Head. Slice 74/155. Image covers 240 mm x 240 mm.
FLAIR MR.
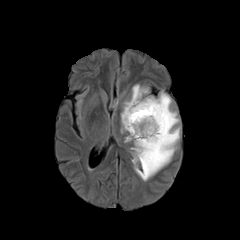
T1-weighted MR image.
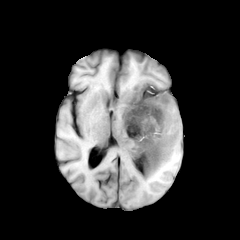
Post-contrast T1-weighted magnetic resonance.
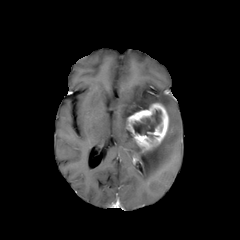
T2-weighted MR.
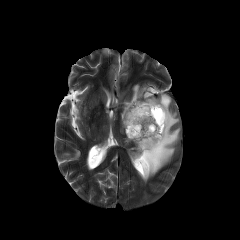
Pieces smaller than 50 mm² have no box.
<segmentation>
  <necrotic_tumor_core>rect(133, 110, 161, 137)</necrotic_tumor_core>
  <enhancing_tumor>rect(133, 154, 141, 163); rect(126, 103, 169, 152)</enhancing_tumor>
  <peritumoral_edema>rect(121, 84, 180, 181)</peritumoral_edema>
</segmentation>